Brain. Image size 240x240.
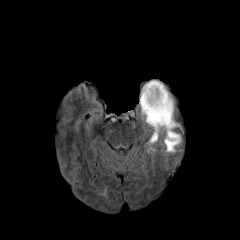
FLAIR MRI.
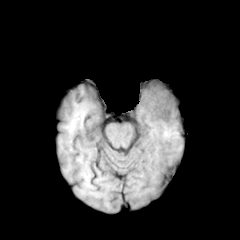
Same slice, T1-weighted MRI.
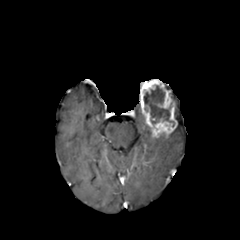
Same slice, post-contrast T1-weighted magnetic resonance.
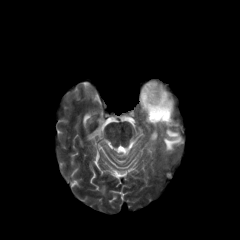
T2-weighted MR image.
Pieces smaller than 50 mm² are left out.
{"enhancing_tumor": ["140, 79, 177, 137"], "peritumoral_edema": ["147, 135, 158, 152", "163, 132, 182, 152"], "necrotic_tumor_core": ["144, 86, 173, 124"]}